FLAIR MR image.
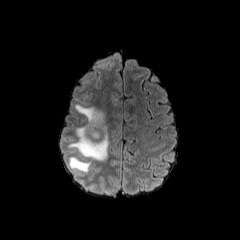
T1-weighted MR.
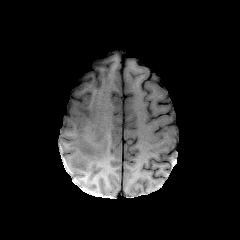
Post-contrast T1-weighted MRI.
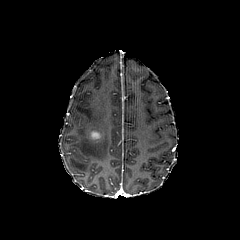
T2-weighted MRI.
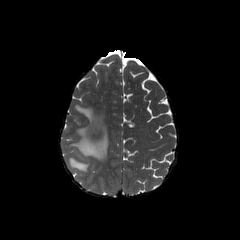
Head
enhancing tumor = l=90, t=130, r=100, b=139
peritumoral edema = l=68, t=157, r=90, b=172; l=69, t=104, r=110, b=160